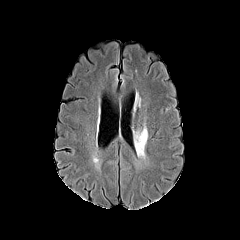
FLAIR MRI.
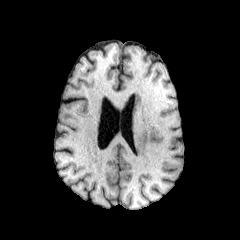
T1-weighted magnetic resonance.
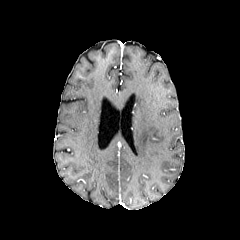
Same slice, post-contrast T1-weighted MR image.
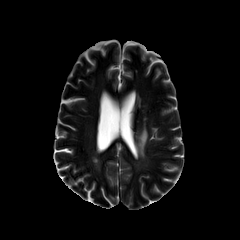
T2-weighted MR image of the same slice.
{"peritumoral_edema": ["(135, 126, 147, 157)"]}